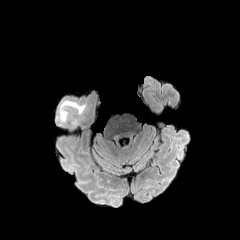
FLAIR MR image.
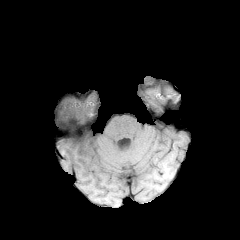
T1-weighted MR image.
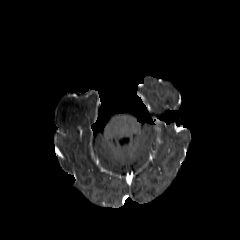
Same slice, post-contrast T1-weighted MR.
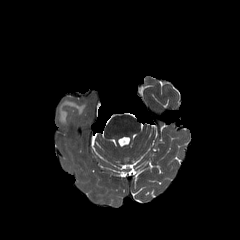
T2-weighted MRI.
Axial plane
The peritumoral edema is located at (59, 100, 84, 122).